Image size 240x240.
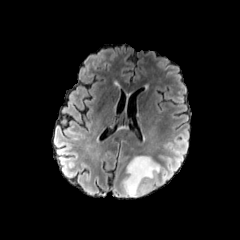
FLAIR MR image.
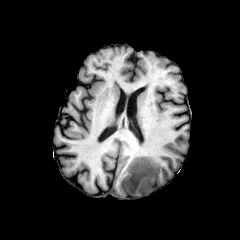
T1-weighted MR.
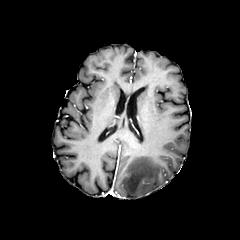
Post-contrast T1-weighted MR.
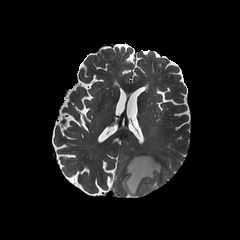
T2-weighted magnetic resonance.
The peritumoral edema is at bbox(122, 156, 160, 197).